FLAIR MRI.
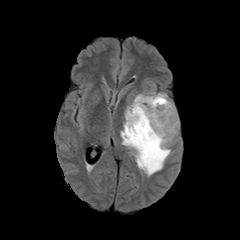
T1-weighted magnetic resonance.
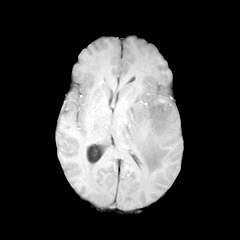
Post-contrast T1-weighted magnetic resonance.
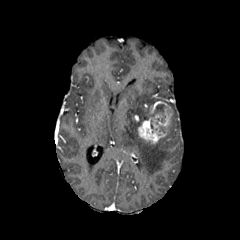
T2-weighted MR image.
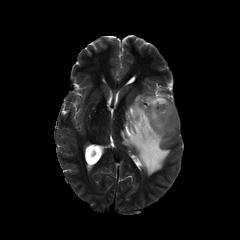
Axial view.
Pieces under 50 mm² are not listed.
The largest necrotic tumor core region appears at (left=149, top=104, right=165, bottom=116). The peritumoral edema appears at (left=121, top=87, right=179, bottom=175). The largest enhancing tumor region appears at (left=138, top=101, right=172, bottom=143).